FLAIR magnetic resonance.
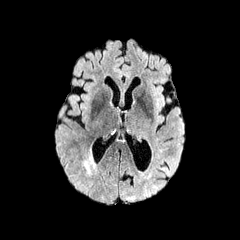
T1-weighted MR.
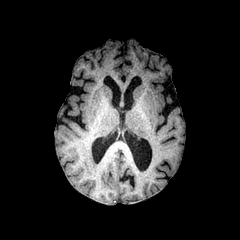
Post-contrast T1-weighted MRI.
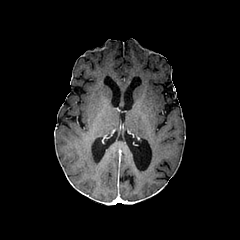
T2-weighted magnetic resonance.
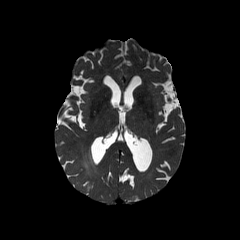
Axial view, 240x240 px
peritumoral edema: x1=83, y1=157, x2=91, y2=174